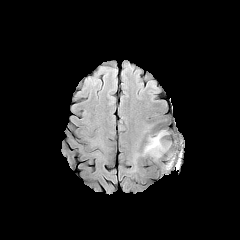
FLAIR MR image.
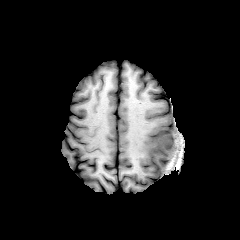
T1-weighted MR image.
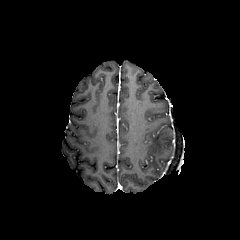
Post-contrast T1-weighted magnetic resonance.
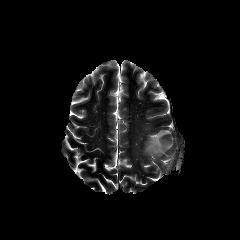
T2-weighted MRI.
Brain
{
  "peritumoral_edema": [
    "<bbox>144, 130, 170, 157</bbox>"
  ]
}